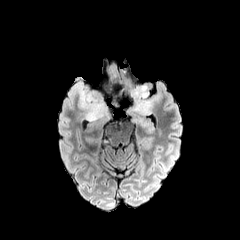
FLAIR magnetic resonance.
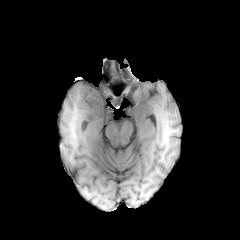
Same slice, T1-weighted MRI.
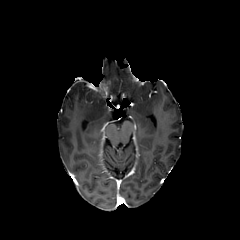
Same slice, post-contrast T1-weighted MR image.
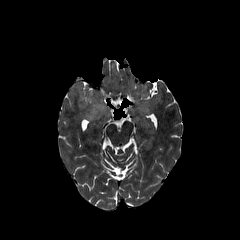
T2-weighted MRI.
Head
peritumoral edema — bbox(129, 85, 153, 114); bbox(73, 84, 107, 121)